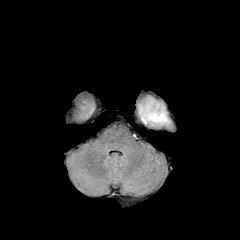
FLAIR MRI.
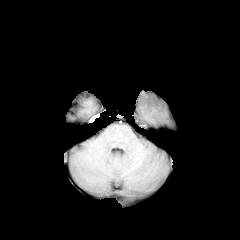
T1-weighted MR image of the same slice.
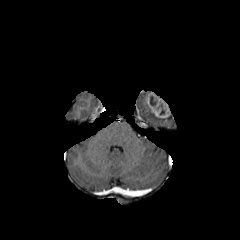
Post-contrast T1-weighted magnetic resonance of the same slice.
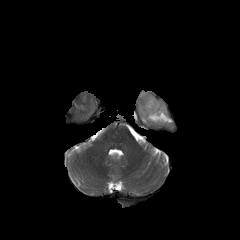
Same slice, T2-weighted MR.
Image size 240x240
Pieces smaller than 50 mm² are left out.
enhancing tumor: (x1=144, y1=92, x2=170, y2=121) | peritumoral edema: (x1=138, y1=100, x2=169, y2=124) | necrotic tumor core: (x1=147, y1=106, x2=165, y2=121)